Slice 60 of 155. Head. 240x240 px.
FLAIR MRI.
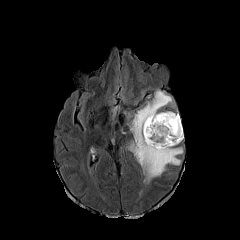
T1-weighted MR image.
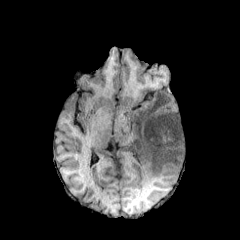
Post-contrast T1-weighted MR image.
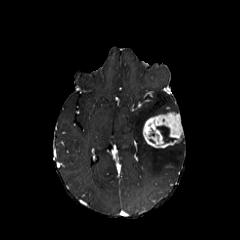
T2-weighted magnetic resonance.
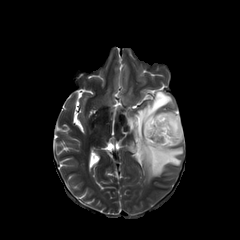
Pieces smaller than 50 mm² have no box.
- necrotic tumor core: rect(157, 126, 175, 142)
- enhancing tumor: rect(142, 112, 183, 148)
- peritumoral edema: rect(128, 90, 183, 182)